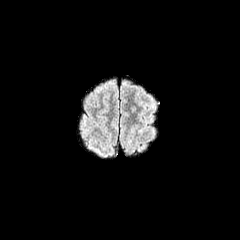
FLAIR MRI.
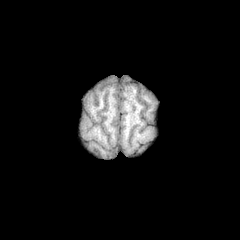
T1-weighted MR image of the same slice.
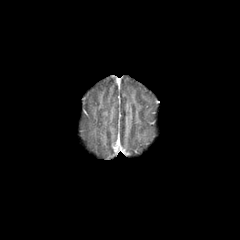
Same slice, post-contrast T1-weighted MR.
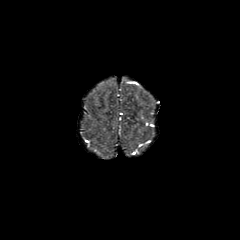
T2-weighted MR image.
peritumoral_edema:
  - box=[92, 85, 107, 98]